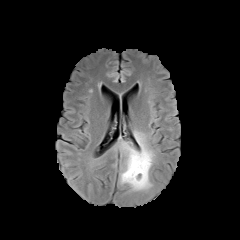
FLAIR magnetic resonance.
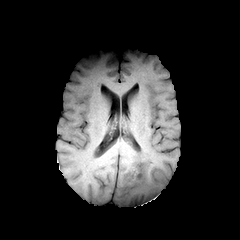
T1-weighted magnetic resonance.
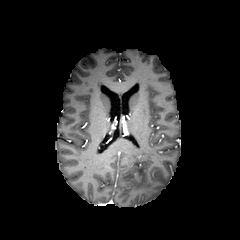
Post-contrast T1-weighted MR image.
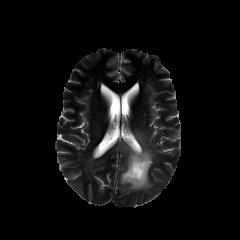
T2-weighted MRI.
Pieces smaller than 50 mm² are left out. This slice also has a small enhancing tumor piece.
peritumoral edema = (x1=120, y1=131, x2=154, y2=190)